Axial slice; Slice 139 of 155; Image covers 240 mm x 240 mm
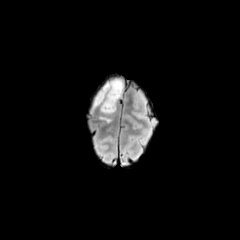
FLAIR MR.
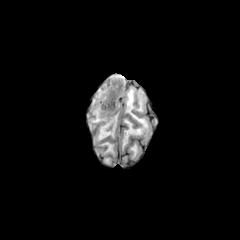
T1-weighted MRI.
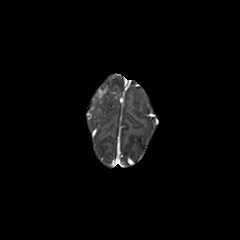
Post-contrast T1-weighted MRI of the same slice.
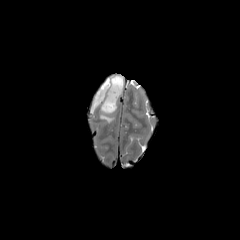
Same slice, T2-weighted MR.
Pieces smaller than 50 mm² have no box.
peritumoral edema: rect(91, 78, 123, 122)
enhancing tumor: rect(93, 86, 115, 104)